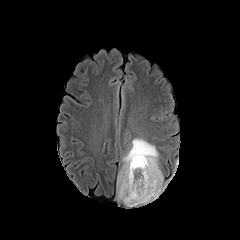
FLAIR MRI.
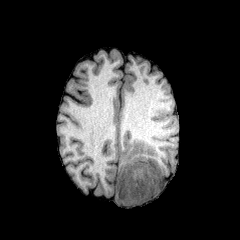
T1-weighted magnetic resonance.
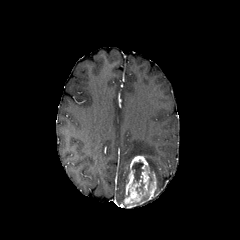
Post-contrast T1-weighted MR.
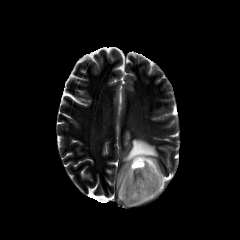
Same slice, T2-weighted MRI.
240x240
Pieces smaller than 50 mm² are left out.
Segmented structures:
• peritumoral edema: bbox=[117, 138, 163, 200]
• enhancing tumor: bbox=[123, 156, 160, 207]
• necrotic tumor core: bbox=[132, 161, 143, 182]